Image width 240 mm, Axial view, 240x240 px
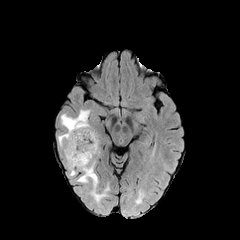
FLAIR MR.
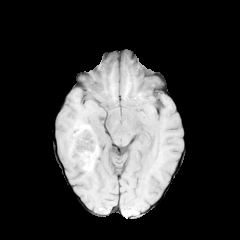
T1-weighted MRI.
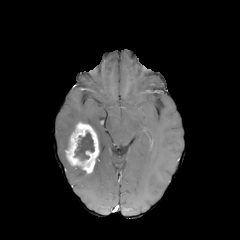
Post-contrast T1-weighted magnetic resonance of the same slice.
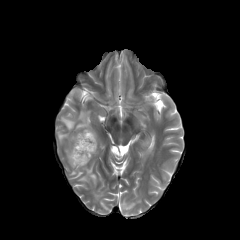
T2-weighted MR image.
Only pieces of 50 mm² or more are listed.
peritumoral edema: region(58, 109, 90, 151); region(67, 160, 108, 202) | necrotic tumor core: region(75, 132, 94, 160) | enhancing tumor: region(65, 122, 99, 173)